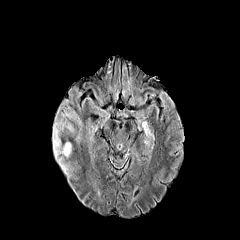
FLAIR MR image.
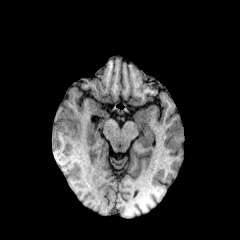
T1-weighted MR image.
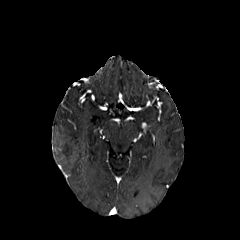
Post-contrast T1-weighted magnetic resonance of the same slice.
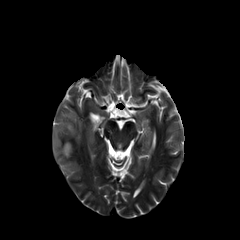
Same slice, T2-weighted magnetic resonance.
Brain. Axial slice.
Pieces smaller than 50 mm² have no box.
{"peritumoral_edema": ["rect(53, 128, 61, 155)", "rect(62, 142, 71, 156)", "rect(65, 113, 81, 125)"]}